FLAIR MR.
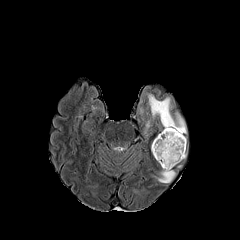
T1-weighted magnetic resonance.
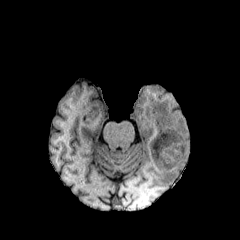
Post-contrast T1-weighted MRI.
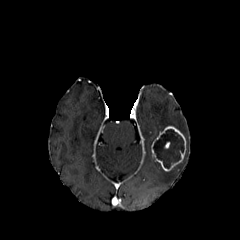
T2-weighted MRI.
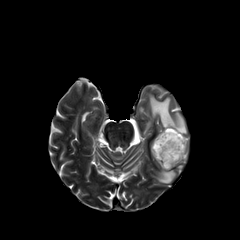
Head
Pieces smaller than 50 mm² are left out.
enhancing tumor at [151,126,186,171]
peritumoral edema at [147,92,187,135], [155,169,175,183]
necrotic tumor core at [153,129,184,168]